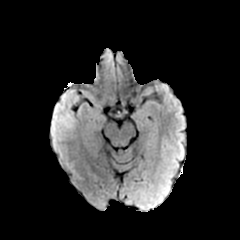
FLAIR MR.
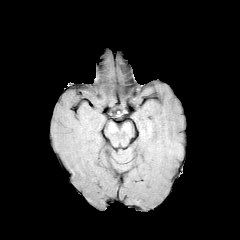
T1-weighted magnetic resonance of the same slice.
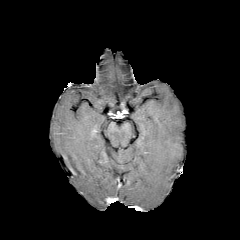
Post-contrast T1-weighted MRI.
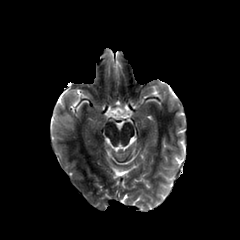
Same slice, T2-weighted magnetic resonance.
Brain
peritumoral edema: bounding box {"x1": 53, "y1": 104, "x2": 74, "y2": 127}